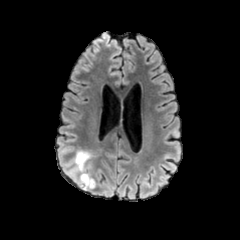
FLAIR MR image.
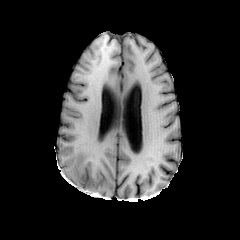
Same slice, T1-weighted MR image.
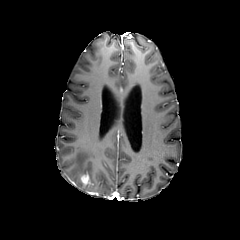
Post-contrast T1-weighted MRI of the same slice.
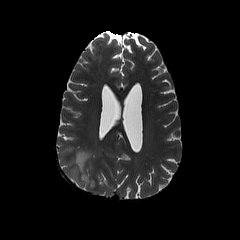
Same slice, T2-weighted MR.
240x240.
• enhancing tumor: [x1=80, y1=174, x2=92, y2=187]
• peritumoral edema: [x1=66, y1=150, x2=95, y2=190]